Image width 240 mm, 1.00 mm slice spacing | Head | Slice index 96 | Image size 240x240
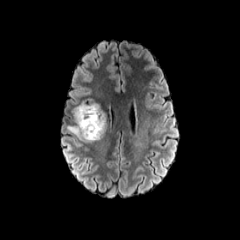
FLAIR MR.
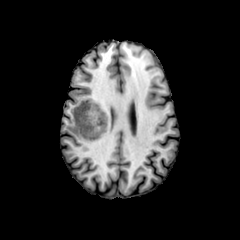
T1-weighted MR image.
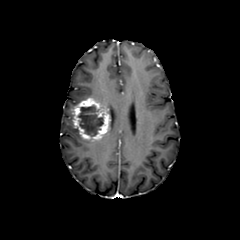
Post-contrast T1-weighted MRI.
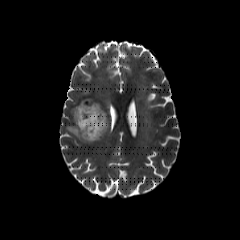
T2-weighted MR of the same slice.
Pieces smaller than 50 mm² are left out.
<segmentation>
  <necrotic_tumor_core>box=[78, 105, 104, 136]</necrotic_tumor_core>
  <enhancing_tumor>box=[73, 98, 108, 141]</enhancing_tumor>
  <peritumoral_edema>box=[66, 124, 95, 142]</peritumoral_edema>
</segmentation>